FLAIR MR image.
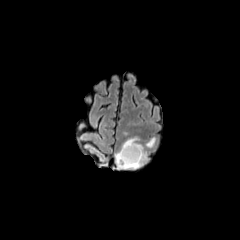
T1-weighted MR image.
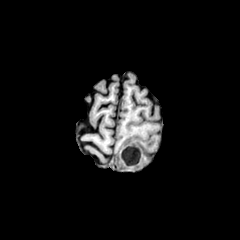
Post-contrast T1-weighted magnetic resonance.
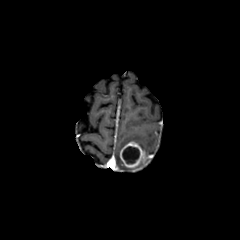
T2-weighted MR.
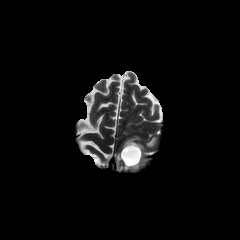
Image size 240x240, Brain, Axial view
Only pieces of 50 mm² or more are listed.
{"necrotic_tumor_core": ["region(122, 146, 139, 163)"], "peritumoral_edema": ["region(115, 151, 128, 169)", "region(146, 137, 155, 147)", "region(121, 137, 144, 149)"], "enhancing_tumor": ["region(119, 141, 148, 170)"]}